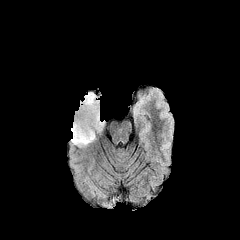
FLAIR MRI.
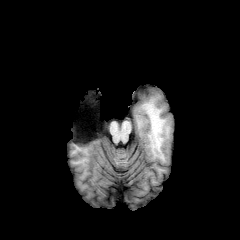
T1-weighted MR.
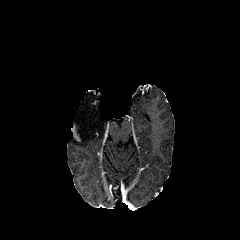
Post-contrast T1-weighted MRI.
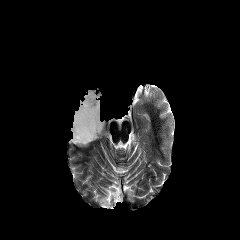
T2-weighted MRI.
Axial slice
{"peritumoral_edema": ["bbox=[71, 92, 104, 147]"], "enhancing_tumor": ["bbox=[71, 125, 80, 141]"]}